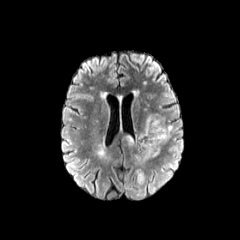
FLAIR MR.
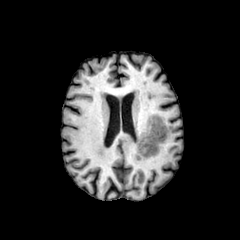
T1-weighted MR.
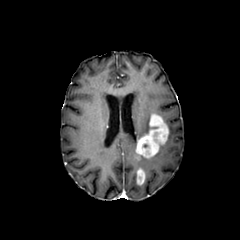
Same slice, post-contrast T1-weighted MR image.
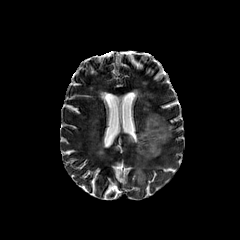
T2-weighted magnetic resonance.
Image size 240x240; Head; Axial slice
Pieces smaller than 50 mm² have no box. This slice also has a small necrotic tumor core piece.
Findings:
* enhancing tumor: [x1=137, y1=169, x2=144, y2=184], [x1=136, y1=114, x2=168, y2=158]
* peritumoral edema: [x1=136, y1=115, x2=157, y2=142], [x1=127, y1=136, x2=133, y2=144], [x1=167, y1=125, x2=173, y2=138]